Image width 240 mm, 1.00 mm slice spacing. Brain. Axial slice.
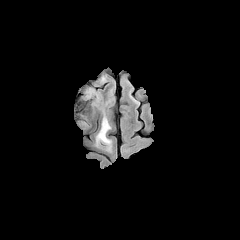
FLAIR MR.
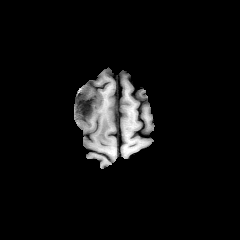
T1-weighted MR.
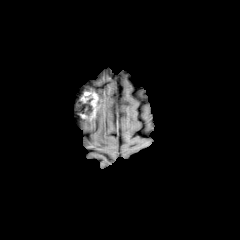
Post-contrast T1-weighted MR image of the same slice.
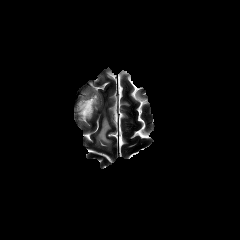
Same slice, T2-weighted MR image.
- peritumoral edema: 87:87:115:153, 97:78:105:85
- enhancing tumor: 77:90:98:120
- necrotic tumor core: 77:98:92:115